FLAIR MR image.
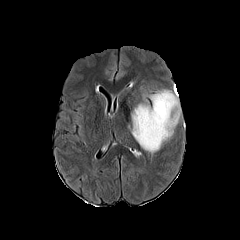
T1-weighted MRI.
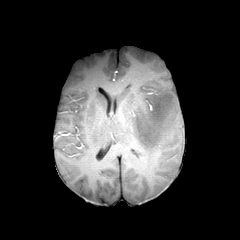
Post-contrast T1-weighted MR image.
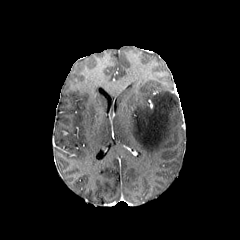
T2-weighted MR image.
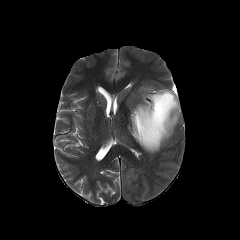
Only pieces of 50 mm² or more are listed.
Annotated regions:
• peritumoral edema: l=131, t=89, r=180, b=153